240x240. Head.
FLAIR MRI.
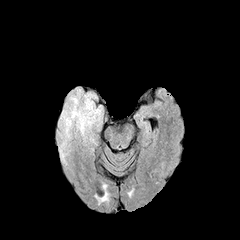
T1-weighted MRI.
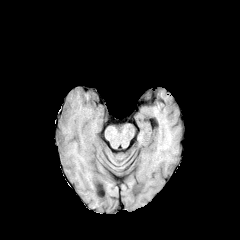
Post-contrast T1-weighted MR.
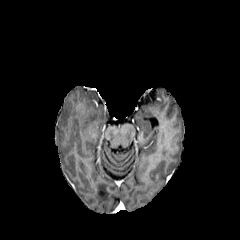
T2-weighted magnetic resonance.
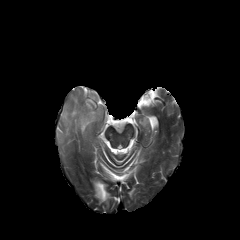
The peritumoral edema is at box(56, 87, 107, 163).